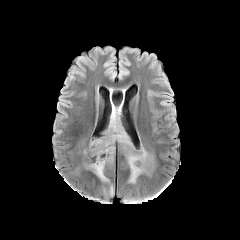
FLAIR magnetic resonance.
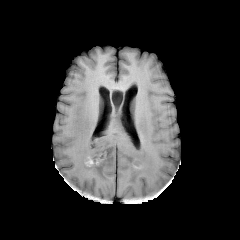
Same slice, T1-weighted MR.
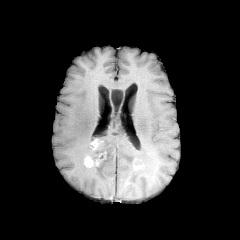
Post-contrast T1-weighted MRI.
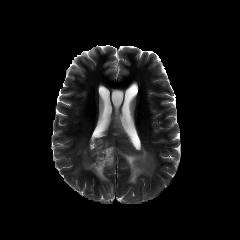
T2-weighted MR of the same slice.
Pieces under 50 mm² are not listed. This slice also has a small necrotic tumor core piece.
enhancing tumor = 84:152:106:167, 90:139:103:151
peritumoral edema = 85:109:154:183